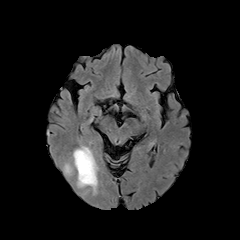
FLAIR magnetic resonance.
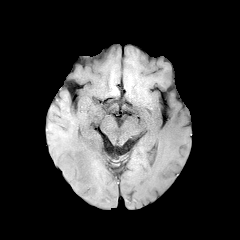
T1-weighted MR image.
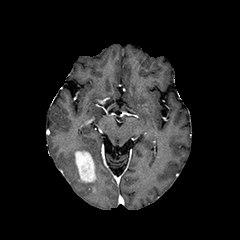
Post-contrast T1-weighted magnetic resonance.
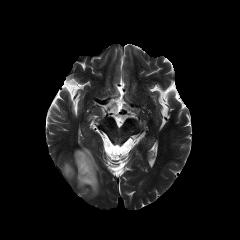
T2-weighted MR image.
Axial plane, Head
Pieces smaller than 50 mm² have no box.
The largest enhancing tumor region is located at x1=75 y1=151 x2=96 y2=182. 2 peritumoral edema regions appear at x1=63 y1=163 x2=74 y2=176, x1=73 y1=146 x2=98 y2=194.